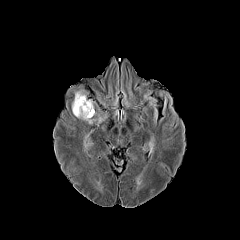
FLAIR MR.
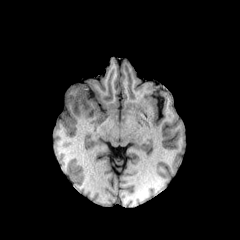
T1-weighted MRI.
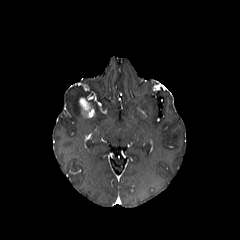
Same slice, post-contrast T1-weighted magnetic resonance.
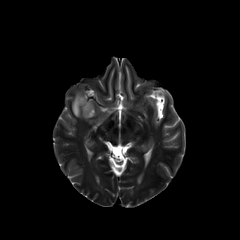
Same slice, T2-weighted MR.
Brain | 240x240
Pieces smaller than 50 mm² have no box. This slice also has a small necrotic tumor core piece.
enhancing tumor: box=[79, 97, 94, 117]
peritumoral edema: box=[72, 91, 106, 124]